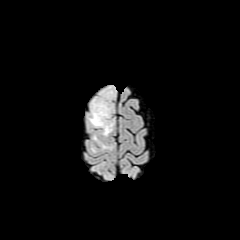
FLAIR magnetic resonance.
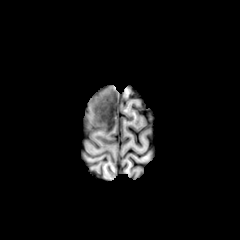
T1-weighted MRI.
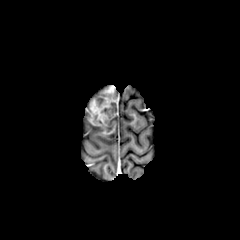
Post-contrast T1-weighted magnetic resonance.
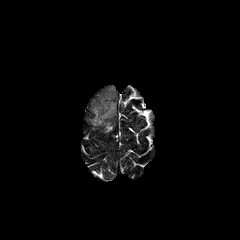
T2-weighted MR image.
Head.
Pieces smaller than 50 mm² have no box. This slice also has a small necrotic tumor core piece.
Findings:
* peritumoral edema: (94, 136, 110, 148)
* enhancing tumor: (89, 85, 115, 134)